FLAIR magnetic resonance.
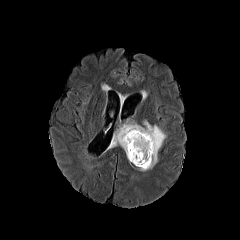
T1-weighted MR image.
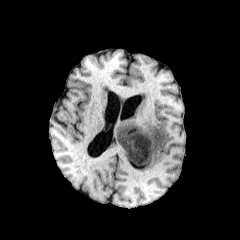
Post-contrast T1-weighted MR image.
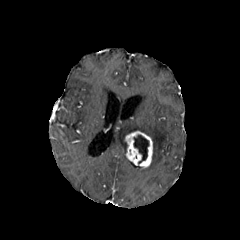
T2-weighted MRI.
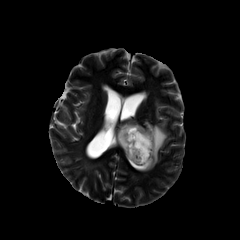
Brain | 240x240
The peritumoral edema appears at (109, 120, 166, 170). The necrotic tumor core is located at (133, 135, 148, 163). The enhancing tumor is at (124, 130, 153, 168).